FLAIR magnetic resonance.
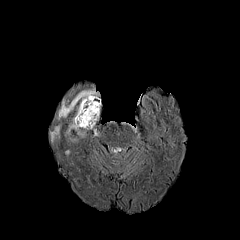
T1-weighted magnetic resonance.
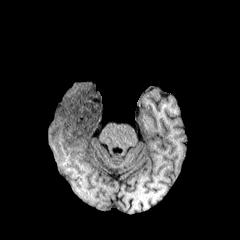
Post-contrast T1-weighted MR.
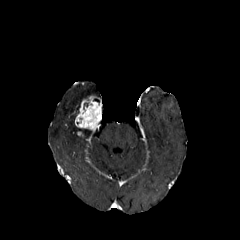
T2-weighted MR.
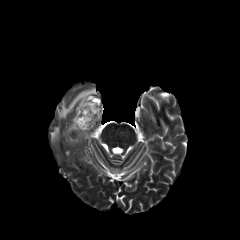
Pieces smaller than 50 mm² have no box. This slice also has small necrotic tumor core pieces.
Segmented structures:
- peritumoral edema: bbox(50, 125, 60, 142); bbox(58, 88, 98, 119); bbox(68, 116, 80, 132)
- enhancing tumor: bbox(75, 95, 101, 130)